FLAIR MR.
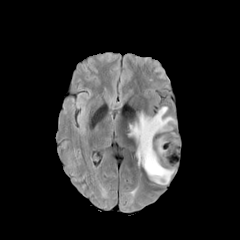
T1-weighted magnetic resonance.
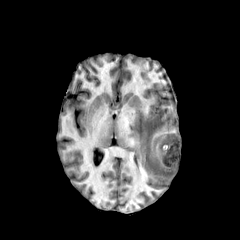
Post-contrast T1-weighted MRI.
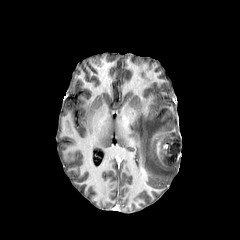
T2-weighted MRI.
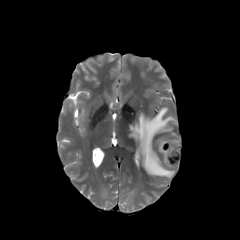
Axial slice, Brain
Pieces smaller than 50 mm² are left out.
Segmented structures:
* peritumoral edema: (129,107,176,185)
* enhancing tumor: (163,144,170,154), (155,134,175,168)
* necrotic tumor core: (160,136,179,165)